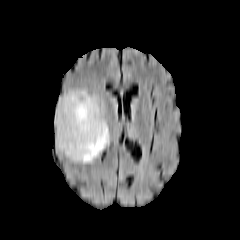
FLAIR magnetic resonance.
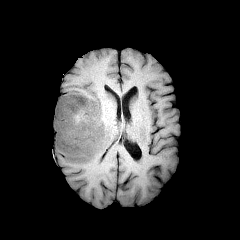
Same slice, T1-weighted MR image.
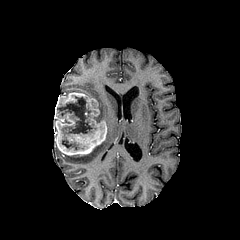
Post-contrast T1-weighted magnetic resonance of the same slice.
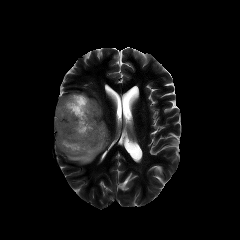
T2-weighted magnetic resonance.
Axial slice | Brain | 240x240
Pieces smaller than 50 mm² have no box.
The 3 largest peritumoral edema regions are located at (x1=94, y1=102, x2=104, y2=122), (x1=66, y1=125, x2=109, y2=163), (x1=69, y1=90, x2=95, y2=98). The largest enhancing tumor region is at (x1=54, y1=92, x2=106, y2=155). The 2 largest necrotic tumor core regions appear at (x1=62, y1=137, x2=78, y2=149), (x1=57, y1=96, x2=92, y2=136).